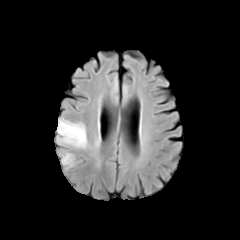
FLAIR MR image.
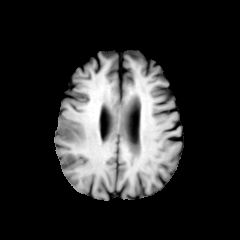
T1-weighted magnetic resonance.
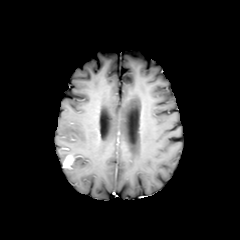
Post-contrast T1-weighted magnetic resonance of the same slice.
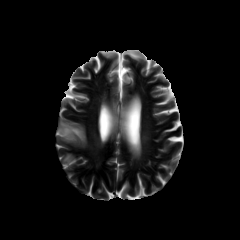
T2-weighted MRI.
Brain. Image size 240x240.
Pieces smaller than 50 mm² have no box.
The enhancing tumor appears at bbox(63, 155, 74, 168). The largest peritumoral edema region is bounded by bbox(57, 117, 87, 148).